Image size 240x240. Image width 240 mm, 1.00 mm slice spacing. Head. Axial slice. Slice index 85.
FLAIR magnetic resonance.
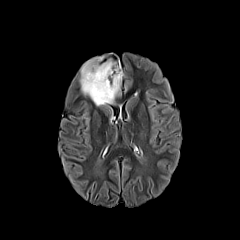
T1-weighted MR.
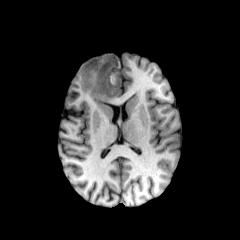
Post-contrast T1-weighted MRI.
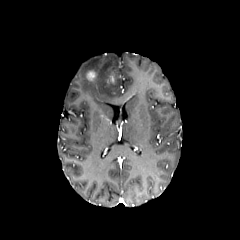
T2-weighted MR image.
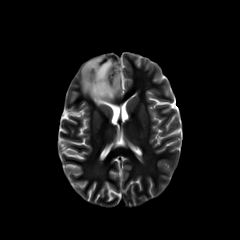
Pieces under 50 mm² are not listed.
Annotated regions:
• peritumoral edema: x1=80 y1=56 x2=123 y2=106
• enhancing tumor: x1=86 y1=70 x2=96 y2=80